Axial slice, Head
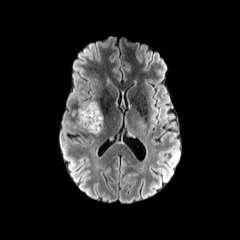
FLAIR magnetic resonance.
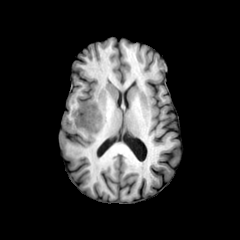
T1-weighted magnetic resonance.
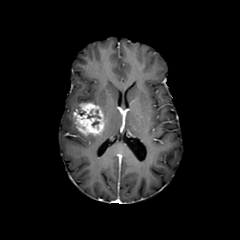
Same slice, post-contrast T1-weighted MR image.
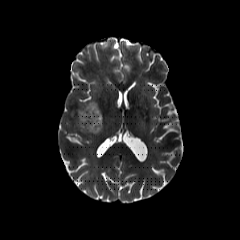
T2-weighted MR.
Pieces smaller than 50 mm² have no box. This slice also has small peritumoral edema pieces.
The enhancing tumor is located at 73, 103, 104, 135. The largest necrotic tumor core region is located at 87, 110, 100, 118.